Axial view. Head. Slice 74 of 155.
FLAIR magnetic resonance.
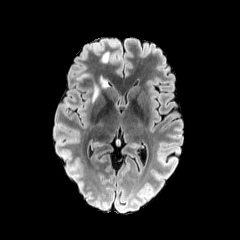
T1-weighted MRI.
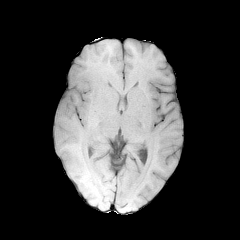
Post-contrast T1-weighted MR.
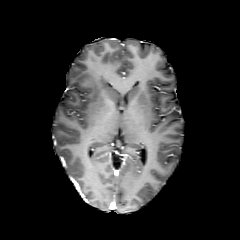
T2-weighted MR.
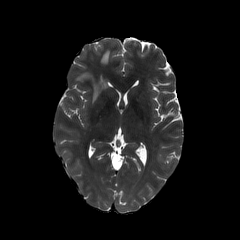
peritumoral edema = left=76, top=73, right=91, bottom=80; left=92, top=77, right=107, bottom=102; left=102, top=52, right=109, bottom=62